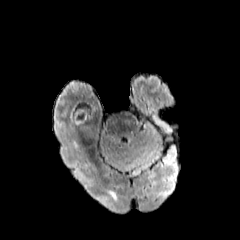
FLAIR MR.
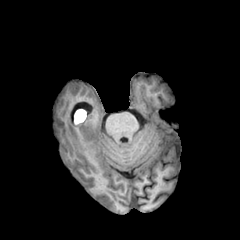
T1-weighted magnetic resonance.
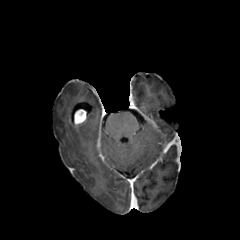
Post-contrast T1-weighted MR image.
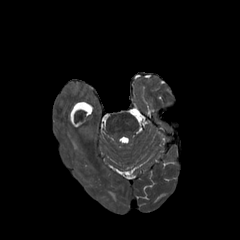
Same slice, T2-weighted magnetic resonance.
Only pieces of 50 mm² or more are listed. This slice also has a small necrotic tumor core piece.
{"enhancing_tumor": ["(left=73, top=109, right=86, bottom=125)"], "peritumoral_edema": ["(left=108, top=191, right=116, bottom=200)"]}